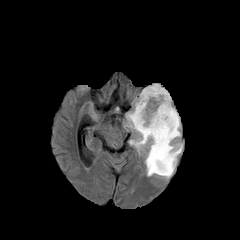
FLAIR MR image.
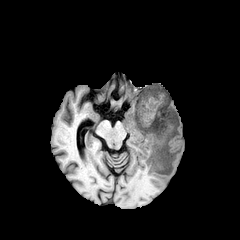
T1-weighted MR image.
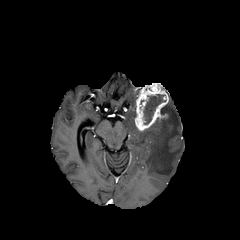
Post-contrast T1-weighted MR image.
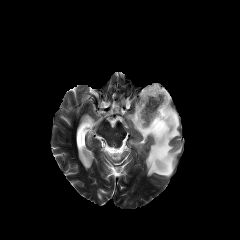
Same slice, T2-weighted MR image.
Axial view
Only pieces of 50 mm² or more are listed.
<segmentation>
  <necrotic_tumor_core>{"x1": 144, "y1": 94, "x2": 165, "y2": 123}</necrotic_tumor_core>
  <peritumoral_edema>{"x1": 127, "y1": 98, "x2": 182, "y2": 177}</peritumoral_edema>
  <enhancing_tumor>{"x1": 134, "y1": 83, "x2": 169, "y2": 131}</enhancing_tumor>
</segmentation>